Slice 56/155, Axial view
FLAIR MR image.
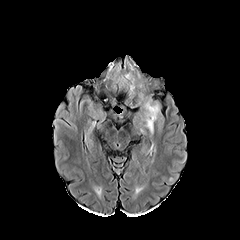
T1-weighted MR.
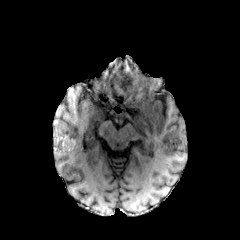
Post-contrast T1-weighted magnetic resonance.
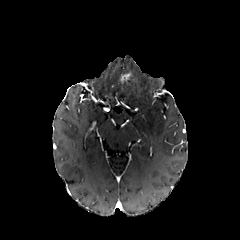
T2-weighted MRI.
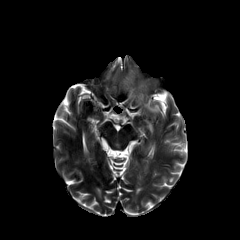
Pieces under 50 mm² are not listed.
<segmentation>
  <peritumoral_edema>bbox=[145, 101, 159, 132]</peritumoral_edema>
  <enhancing_tumor>bbox=[120, 73, 130, 83]</enhancing_tumor>
</segmentation>